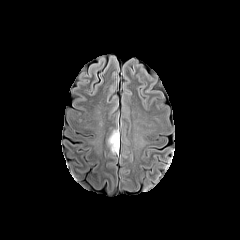
FLAIR MRI.
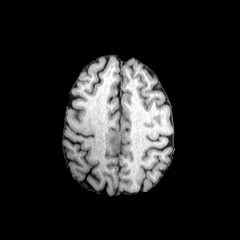
Same slice, T1-weighted MR.
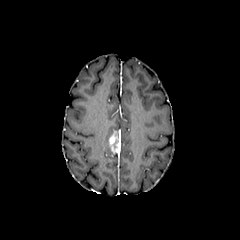
Same slice, post-contrast T1-weighted magnetic resonance.
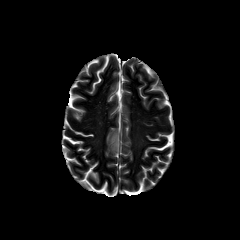
T2-weighted magnetic resonance.
Brain | Axial slice
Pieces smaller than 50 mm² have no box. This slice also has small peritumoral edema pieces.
The largest necrotic tumor core region appears at x1=112, y1=139, x2=119, y2=150. The enhancing tumor lies within x1=109, y1=131, x2=120, y2=154.